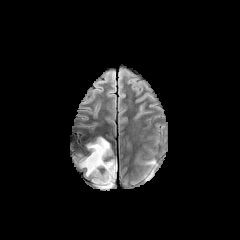
FLAIR MR image.
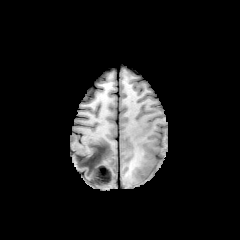
T1-weighted MR image.
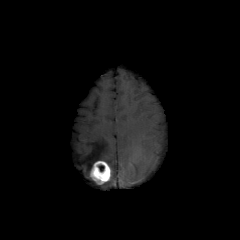
Post-contrast T1-weighted magnetic resonance.
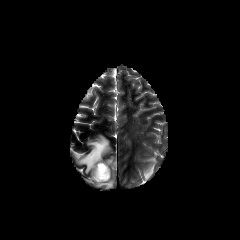
T2-weighted magnetic resonance of the same slice.
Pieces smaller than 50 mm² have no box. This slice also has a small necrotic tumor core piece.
enhancing tumor — (90, 161, 111, 184)
peritumoral edema — (77, 136, 111, 176), (96, 159, 116, 189), (144, 158, 157, 181)